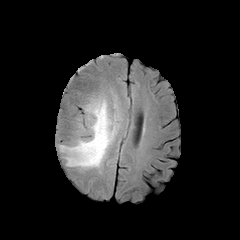
FLAIR MR image.
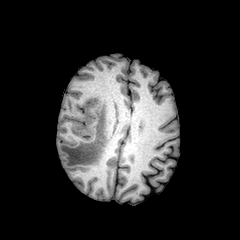
T1-weighted MR image.
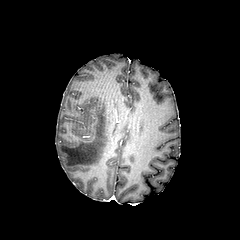
Post-contrast T1-weighted magnetic resonance.
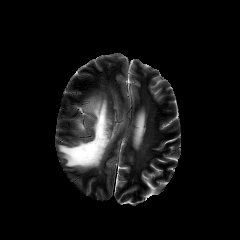
T2-weighted MR image.
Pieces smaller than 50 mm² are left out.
Findings:
• peritumoral edema: rect(59, 97, 116, 169)